Brain, Image width 240 mm, 1.00 mm slice spacing
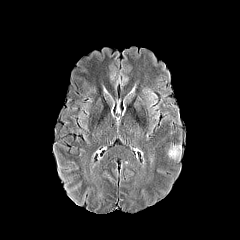
FLAIR magnetic resonance.
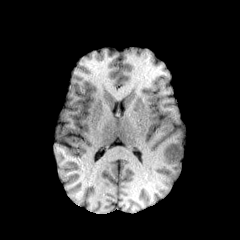
Same slice, T1-weighted MR image.
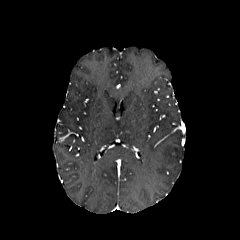
Post-contrast T1-weighted MR of the same slice.
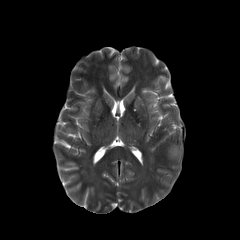
T2-weighted MR image.
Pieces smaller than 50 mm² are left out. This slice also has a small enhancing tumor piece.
Annotated regions:
- peritumoral edema: box(169, 146, 179, 159)